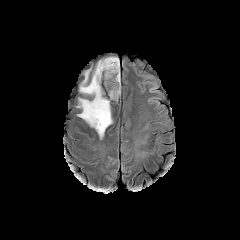
FLAIR MR.
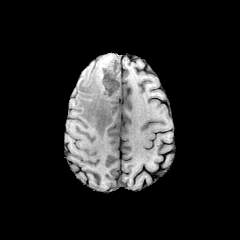
T1-weighted MR.
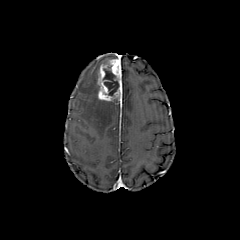
Same slice, post-contrast T1-weighted MR image.
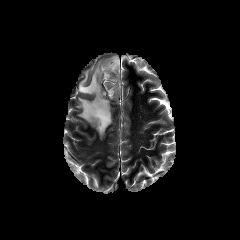
T2-weighted MRI.
Axial slice.
peritumoral_edema:
  - [77,56,116,139]
necrotic_tumor_core:
  - [103,69,118,95]
enhancing_tumor:
  - [97,58,121,100]